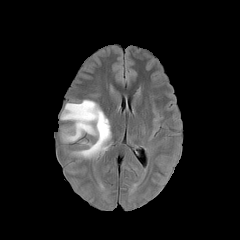
FLAIR MRI.
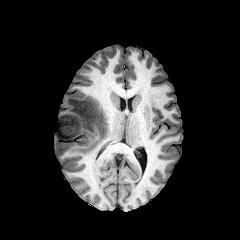
Same slice, T1-weighted MRI.
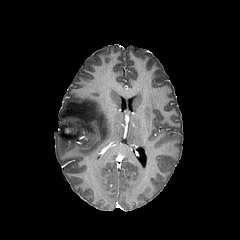
Post-contrast T1-weighted MR.
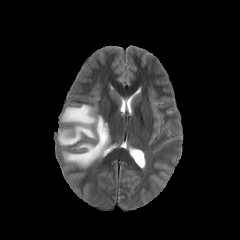
T2-weighted MR of the same slice.
Brain
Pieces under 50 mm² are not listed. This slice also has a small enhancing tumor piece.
peritumoral_edema:
  - [60,100,111,161]